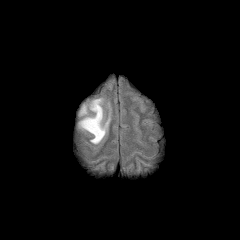
FLAIR MR.
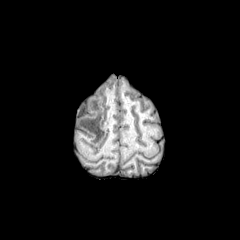
Same slice, T1-weighted MRI.
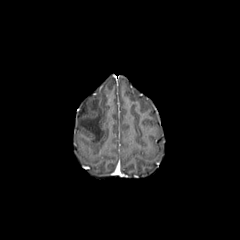
Post-contrast T1-weighted MR.
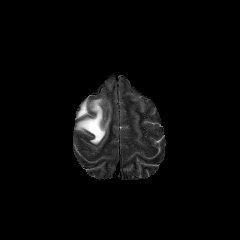
T2-weighted magnetic resonance of the same slice.
Image size 240x240; Axial plane
{
  "peritumoral_edema": [
    "<box>79,104,87,115</box>",
    "<box>78,98,110,144</box>"
  ]
}